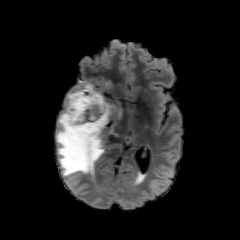
FLAIR MRI.
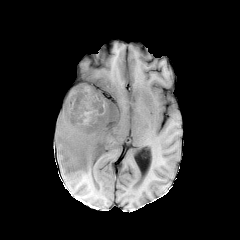
T1-weighted magnetic resonance of the same slice.
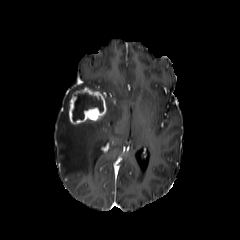
Post-contrast T1-weighted MR image of the same slice.
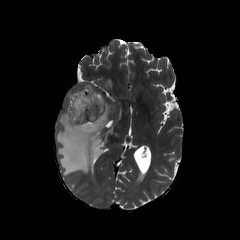
Same slice, T2-weighted MRI.
Axial plane, Head, Image size 240x240
enhancing_tumor:
  - 68:87:107:124
necrotic_tumor_core:
  - 72:93:103:120
peritumoral_edema:
  - 56:81:122:176